240x240. Axial view.
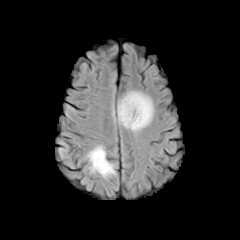
FLAIR magnetic resonance.
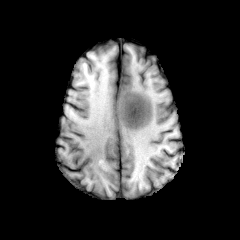
Same slice, T1-weighted MR image.
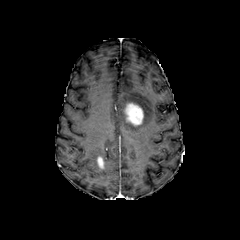
Post-contrast T1-weighted MR image.
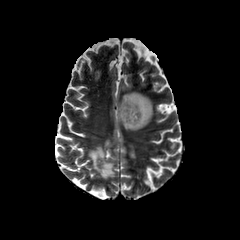
T2-weighted MR of the same slice.
enhancing tumor: rect(124, 102, 143, 126); rect(97, 156, 104, 169)
peritumoral edema: rect(118, 91, 153, 130); rect(87, 145, 115, 177)